Axial slice, 240x240
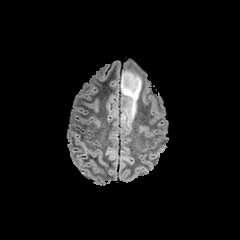
FLAIR MR image.
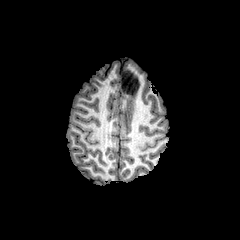
T1-weighted magnetic resonance of the same slice.
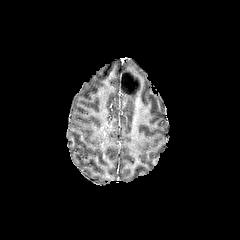
Post-contrast T1-weighted MRI.
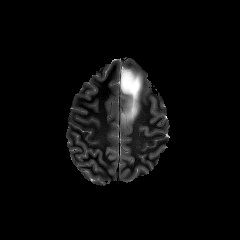
T2-weighted MR image of the same slice.
Annotated regions:
- peritumoral edema: bbox(121, 69, 142, 124)